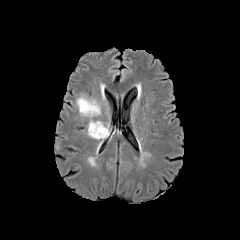
FLAIR MRI.
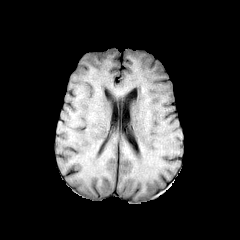
Same slice, T1-weighted magnetic resonance.
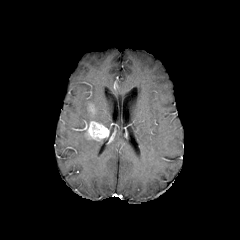
Post-contrast T1-weighted magnetic resonance of the same slice.
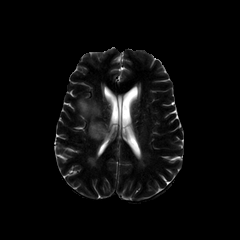
T2-weighted MR image.
240x240 px, Brain
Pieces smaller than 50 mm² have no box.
peritumoral edema = (77, 96, 100, 121)
enhancing tumor = (87, 121, 109, 140)